Slice 55 of 155. Brain.
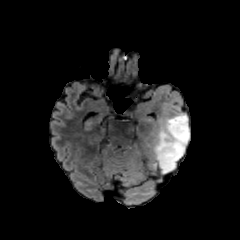
FLAIR MRI.
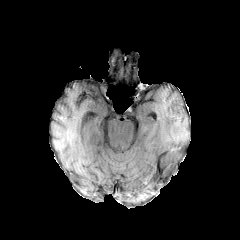
T1-weighted MRI of the same slice.
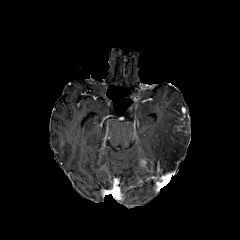
Post-contrast T1-weighted MR image.
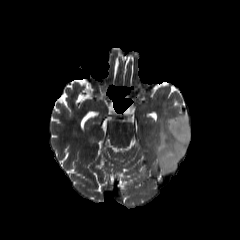
T2-weighted MR of the same slice.
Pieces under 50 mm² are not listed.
enhancing tumor: rect(173, 115, 185, 131)
peritumoral edema: rect(148, 112, 189, 174)